FLAIR MR.
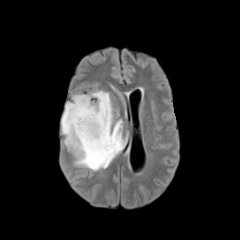
T1-weighted MR image.
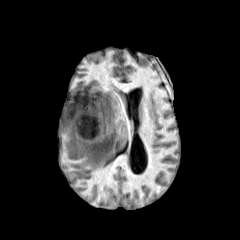
Post-contrast T1-weighted MR.
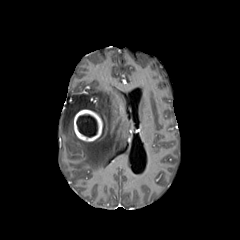
T2-weighted magnetic resonance.
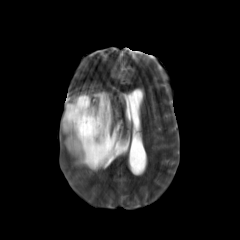
240x240 px, Head
The necrotic tumor core is at {"x1": 76, "y1": 115, "x2": 97, "y2": 137}. The enhancing tumor lies within {"x1": 74, "y1": 109, "x2": 102, "y2": 141}. The peritumoral edema appears at {"x1": 61, "y1": 91, "x2": 126, "y2": 170}.